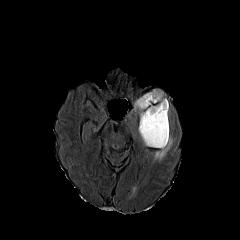
FLAIR magnetic resonance.
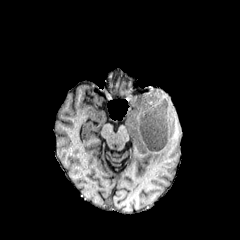
T1-weighted MR of the same slice.
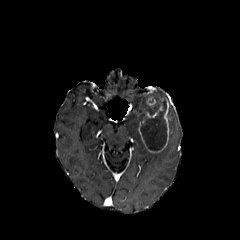
Same slice, post-contrast T1-weighted MRI.
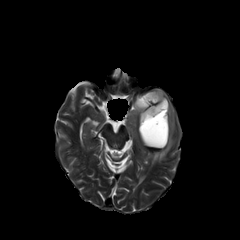
T2-weighted MRI.
Head | Axial plane
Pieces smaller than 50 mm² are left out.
2 peritumoral edema regions are located at 153:136:172:162, 134:90:166:121. 2 enhancing tumor regions are located at 147:97:155:105, 138:99:169:152. The largest necrotic tumor core region appears at 140:101:166:150.